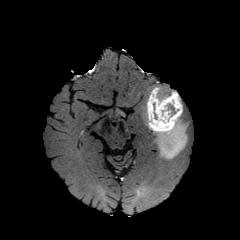
FLAIR MR image.
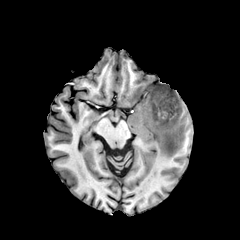
T1-weighted MR.
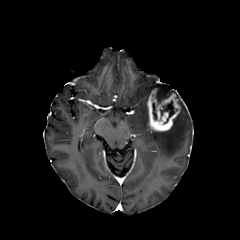
Post-contrast T1-weighted MRI.
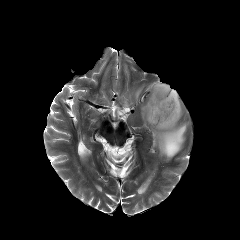
T2-weighted MR of the same slice.
Axial view | Brain
The enhancing tumor appears at <box>147,88,180,131</box>. 2 necrotic tumor core regions are located at <box>152,103,157,119</box>, <box>160,100,174,123</box>. 3 peritumoral edema regions are located at <box>152,91,187,159</box>, <box>152,85,169,103</box>, <box>145,103,150,128</box>.